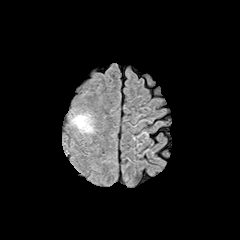
FLAIR MR image.
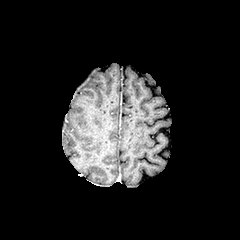
T1-weighted MRI.
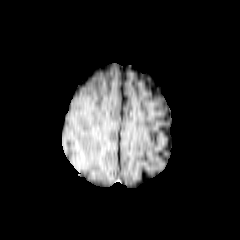
Post-contrast T1-weighted MR image.
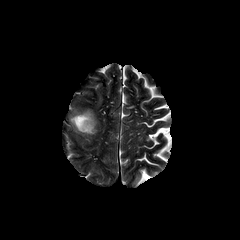
T2-weighted MR.
240x240.
peritumoral edema: (70,112,94,133)